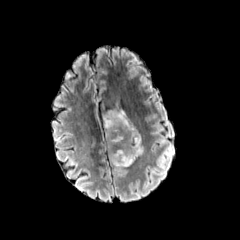
FLAIR MR.
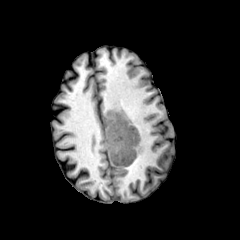
T1-weighted magnetic resonance.
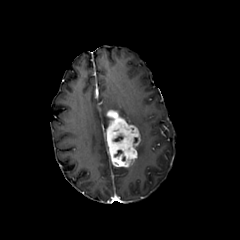
Post-contrast T1-weighted MRI of the same slice.
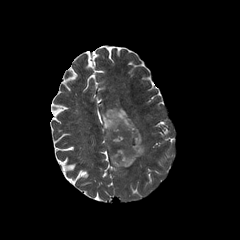
T2-weighted magnetic resonance of the same slice.
Head
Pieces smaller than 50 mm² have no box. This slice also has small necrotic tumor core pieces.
peritumoral edema: bounding box l=102, t=112, r=108, b=132; l=137, t=136, r=143, b=155; l=110, t=109, r=133, b=124
enhancing tumor: bounding box l=105, t=110, r=140, b=167